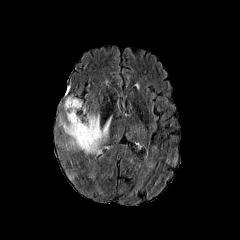
FLAIR MRI.
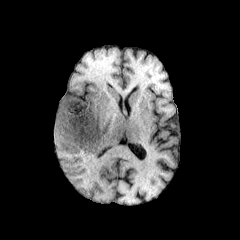
T1-weighted MR image.
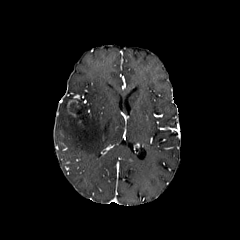
Same slice, post-contrast T1-weighted MRI.
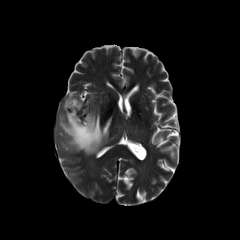
T2-weighted MRI.
240x240 px, Brain
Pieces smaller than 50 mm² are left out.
necrotic_tumor_core:
  - <bbox>69, 102, 80, 113</bbox>
enhancing_tumor:
  - <bbox>66, 99, 78, 117</bbox>
peritumoral_edema:
  - <bbox>59, 97, 111, 154</bbox>